Axial slice; Image covers 240 mm x 240 mm
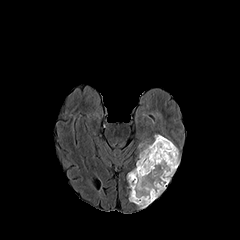
FLAIR MR image.
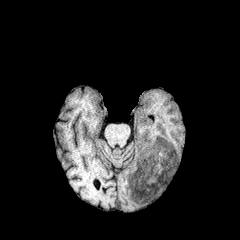
T1-weighted MR of the same slice.
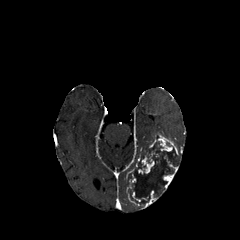
Post-contrast T1-weighted MR.
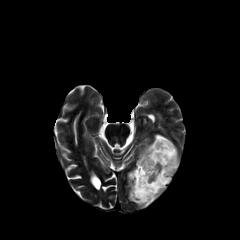
T2-weighted magnetic resonance of the same slice.
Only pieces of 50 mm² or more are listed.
<segmentation>
  <necrotic_tumor_core>[x1=128, y1=142, x2=178, y2=207]</necrotic_tumor_core>
  <peritumoral_edema>[x1=138, y1=142, x2=151, y2=157]</peritumoral_edema>
  <enhancing_tumor>[x1=163, y1=156, x2=178, y2=189], [x1=141, y1=190, x2=158, y2=208], [x1=138, y1=151, x2=158, y2=174], [x1=126, y1=169, x2=136, y2=191], [x1=149, y1=134, x2=178, y2=154]</enhancing_tumor>
</segmentation>